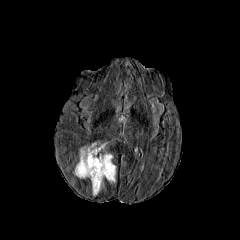
FLAIR MRI.
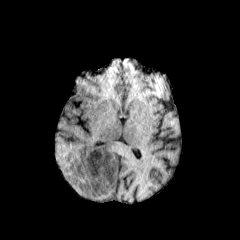
Same slice, T1-weighted MR.
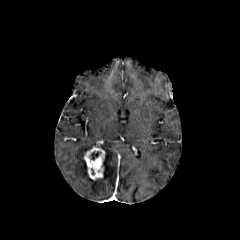
Post-contrast T1-weighted MRI.
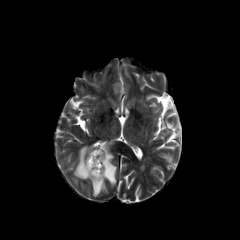
T2-weighted MR image of the same slice.
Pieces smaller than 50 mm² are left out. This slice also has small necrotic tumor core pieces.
enhancing tumor at (84,146,105,180)
peritumoral edema at (74,143,95,178), (90,142,116,195)